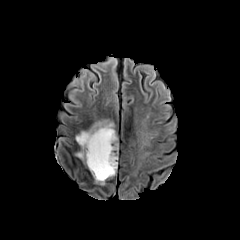
FLAIR MRI.
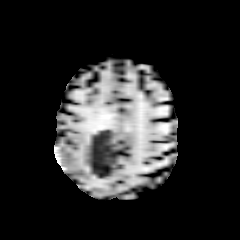
T1-weighted magnetic resonance of the same slice.
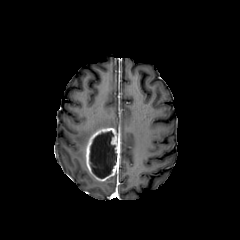
Same slice, post-contrast T1-weighted MR image.
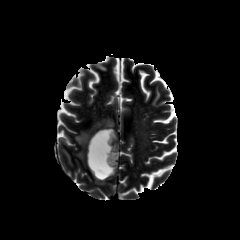
T2-weighted magnetic resonance.
Head
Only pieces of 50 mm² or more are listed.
The largest peritumoral edema region lies within (left=75, top=120, right=114, bottom=159). The necrotic tumor core is located at (left=89, top=131, right=116, bottom=178). The enhancing tumor is at (left=85, top=128, right=119, bottom=181).